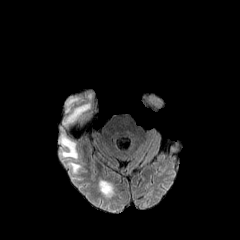
FLAIR MRI.
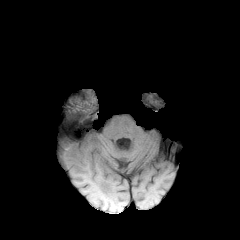
T1-weighted MR.
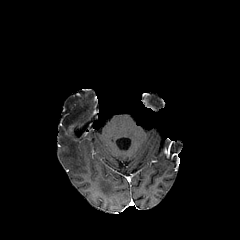
Post-contrast T1-weighted magnetic resonance.
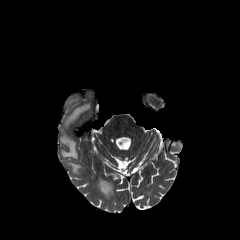
T2-weighted magnetic resonance.
Head.
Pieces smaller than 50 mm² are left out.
The 4 largest peritumoral edema regions appear at x1=99, y1=179, x2=114, y2=196; x1=67, y1=162, x2=81, y2=172; x1=61, y1=137, x2=78, y2=158; x1=64, y1=97, x2=90, y2=125.